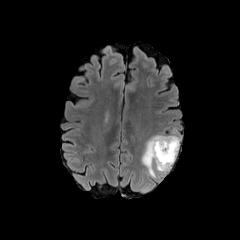
FLAIR MR.
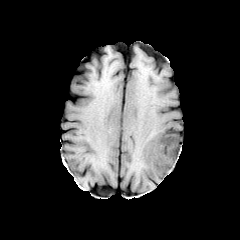
T1-weighted MR of the same slice.
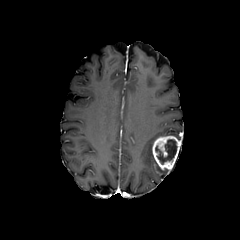
Post-contrast T1-weighted MR.
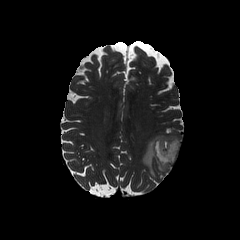
T2-weighted magnetic resonance.
Brain. Axial plane.
enhancing tumor: l=152, t=136, r=180, b=169 | necrotic tumor core: l=155, t=139, r=177, b=164 | peritumoral edema: l=141, t=134, r=181, b=178